Brain; Axial plane; Image width 240 mm; 240x240
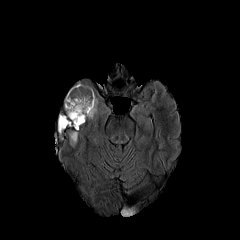
FLAIR MR image.
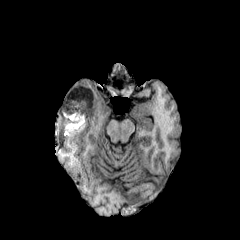
Same slice, T1-weighted MR image.
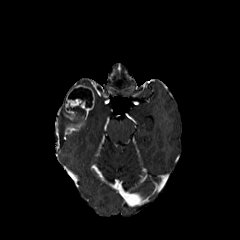
Post-contrast T1-weighted magnetic resonance.
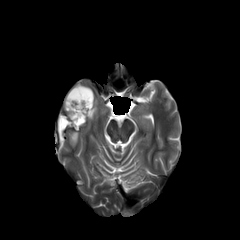
Same slice, T2-weighted MR image.
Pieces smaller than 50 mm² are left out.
<segmentation>
  <peritumoral_edema>69,131,78,146; 88,98,98,119</peritumoral_edema>
  <enhancing_tumor>65,84,94,133</enhancing_tumor>
  <necrotic_tumor_core>68,87,92,107; 59,104,85,130</necrotic_tumor_core>
</segmentation>